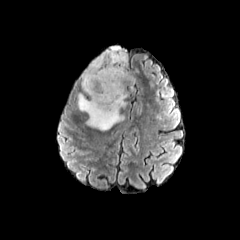
FLAIR magnetic resonance.
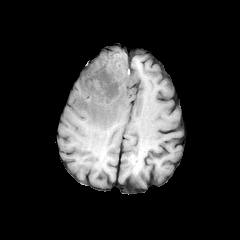
T1-weighted MRI.
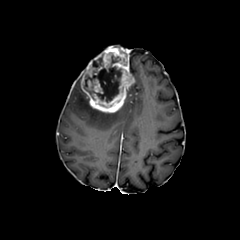
Post-contrast T1-weighted MR.
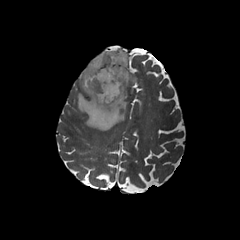
T2-weighted magnetic resonance.
Brain
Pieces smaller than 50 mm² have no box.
peritumoral_edema:
  - {"x1": 76, "y1": 91, "x2": 126, "y2": 130}
necrotic_tumor_core:
  - {"x1": 92, "y1": 57, "x2": 102, "y2": 68}
  - {"x1": 84, "y1": 55, "x2": 121, "y2": 108}
enhancing_tumor:
  - {"x1": 80, "y1": 46, "x2": 135, "y2": 113}
  - {"x1": 93, "y1": 79, "x2": 102, "y2": 93}